Image width 240 mm, 1.00 mm slice spacing; Head
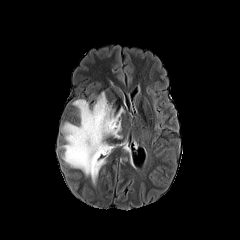
FLAIR magnetic resonance.
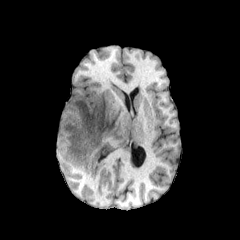
T1-weighted MRI of the same slice.
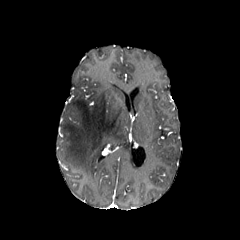
Same slice, post-contrast T1-weighted MR.
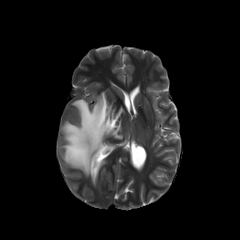
T2-weighted MR image of the same slice.
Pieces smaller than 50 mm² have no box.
<segmentation>
  <peritumoral_edema><box>61,92,123,184</box></peritumoral_edema>
</segmentation>